Head; Slice 51/155; Axial slice; Image size 240x240
FLAIR MR.
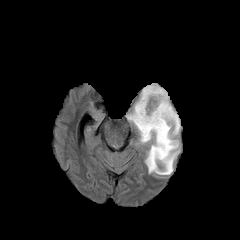
T1-weighted MRI.
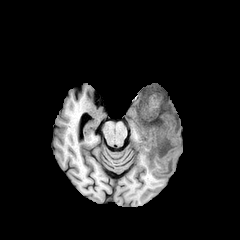
Post-contrast T1-weighted magnetic resonance.
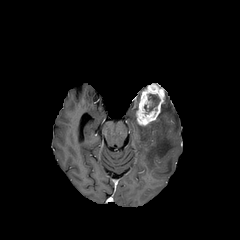
T2-weighted MR image.
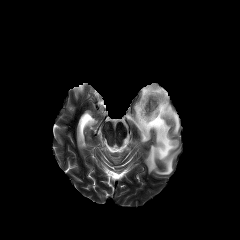
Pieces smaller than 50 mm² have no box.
Segmented structures:
• enhancing tumor: <box>136,83,164,126</box>
• peritumoral edema: <box>126,90,180,174</box>
• necrotic tumor core: <box>148,94,159,111</box>